FLAIR MRI.
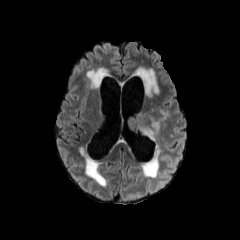
T1-weighted MRI.
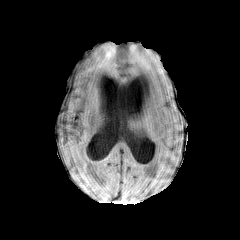
Post-contrast T1-weighted MR image.
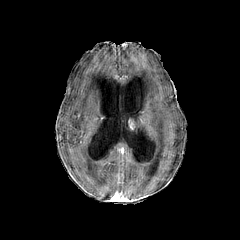
T2-weighted MRI.
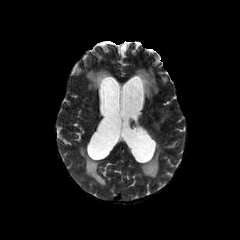
Image size 240x240. Axial view. Head.
- peritumoral edema: x1=127, y1=110, x2=159, y2=140